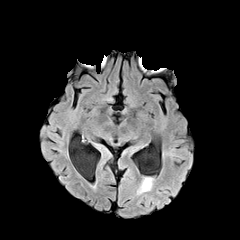
FLAIR MR.
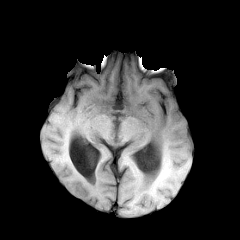
Same slice, T1-weighted MR.
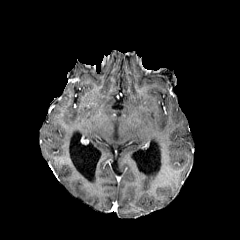
Same slice, post-contrast T1-weighted MRI.
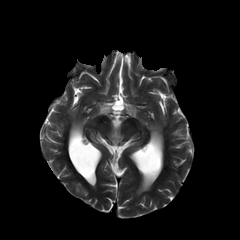
Same slice, T2-weighted MRI.
Axial slice; Brain
peritumoral edema: box(137, 177, 152, 193)